FLAIR MRI.
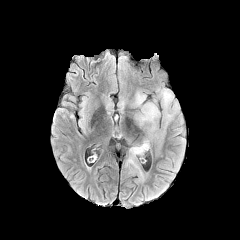
T1-weighted magnetic resonance.
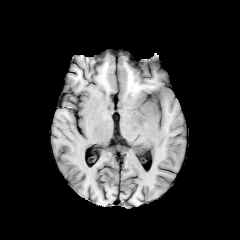
Post-contrast T1-weighted MRI.
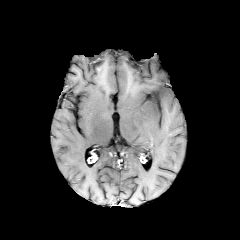
T2-weighted MR image.
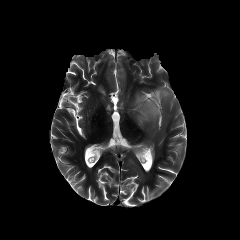
Axial plane, Brain
peritumoral_edema:
  - x1=131, y1=88, x2=168, y2=139